Image size 240x240, Slice 84 of 155, Brain
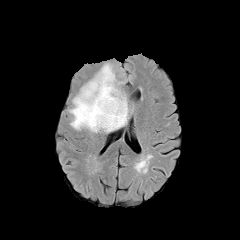
FLAIR MR.
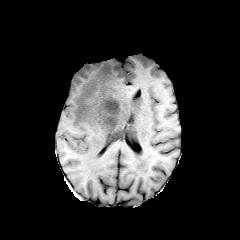
T1-weighted MR.
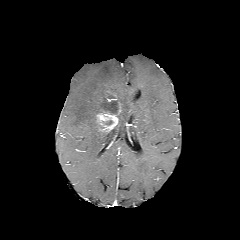
Post-contrast T1-weighted magnetic resonance of the same slice.
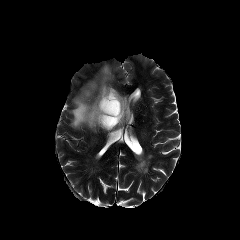
T2-weighted magnetic resonance.
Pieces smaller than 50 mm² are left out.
The peritumoral edema appears at region(69, 63, 129, 132). The enhancing tumor appears at region(96, 98, 121, 131). The largest necrotic tumor core region is located at region(104, 100, 119, 114).